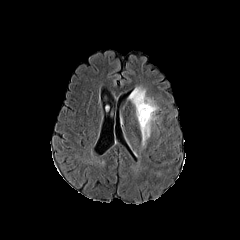
FLAIR MR.
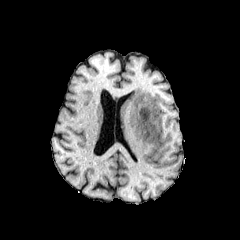
T1-weighted MR image.
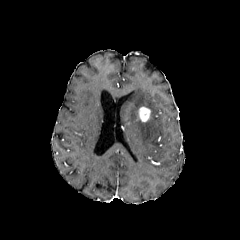
Same slice, post-contrast T1-weighted magnetic resonance.
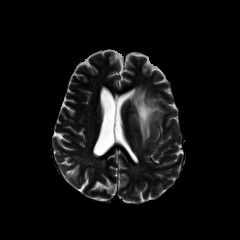
T2-weighted MRI.
240x240
The peritumoral edema appears at box=[129, 87, 158, 146]. The enhancing tumor lies within box=[138, 106, 150, 122].